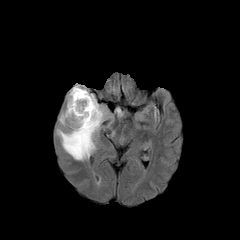
FLAIR magnetic resonance.
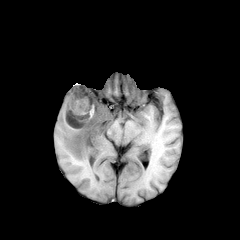
T1-weighted MRI.
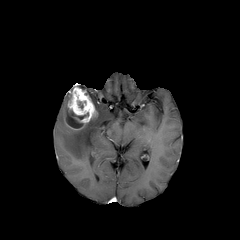
Same slice, post-contrast T1-weighted MRI.
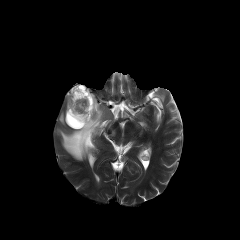
T2-weighted MRI.
Axial view. Image size 240x240.
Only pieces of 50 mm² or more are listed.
enhancing tumor = box(63, 85, 97, 130)
necrotic tumor core = box(65, 111, 88, 127)
peritumoral edema = box(57, 85, 108, 160)